FLAIR MR image.
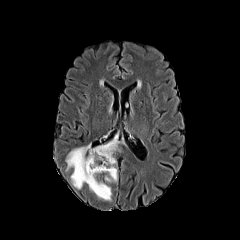
T1-weighted MRI.
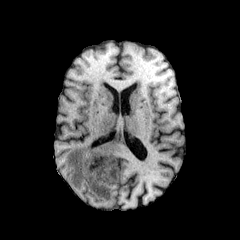
Post-contrast T1-weighted MRI.
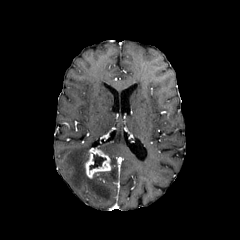
T2-weighted MR image.
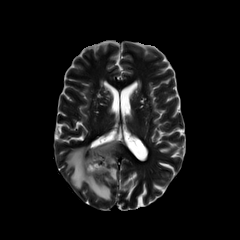
Axial plane
necrotic tumor core — [89, 154, 106, 169]
peritumoral edema — [96, 133, 119, 182], [66, 142, 111, 200]
enhancing tumor — [85, 148, 111, 178]